FLAIR MR.
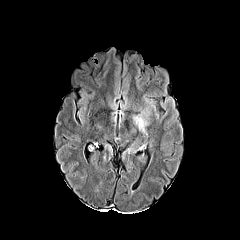
T1-weighted MR.
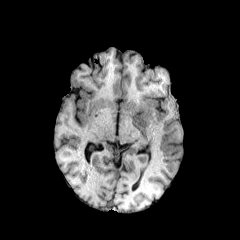
Post-contrast T1-weighted magnetic resonance.
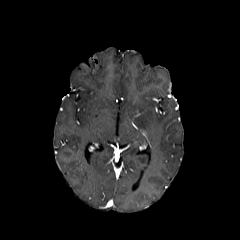
T2-weighted magnetic resonance.
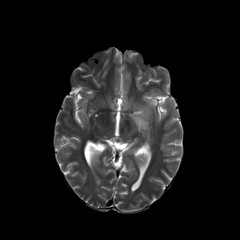
Brain.
peritumoral_edema:
  - [134, 107, 150, 131]